FLAIR MRI.
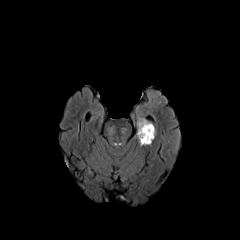
T1-weighted MR.
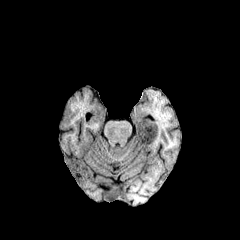
Post-contrast T1-weighted magnetic resonance.
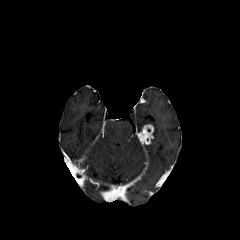
T2-weighted MRI.
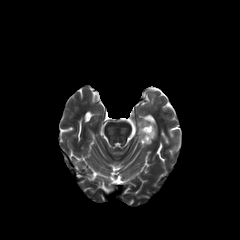
Axial slice | Brain
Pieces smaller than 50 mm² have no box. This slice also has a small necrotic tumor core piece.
peritumoral_edema:
  - (137,116,151,131)
enhancing_tumor:
  - (136,124,154,144)